240x240 px, Slice 40 of 155, Head
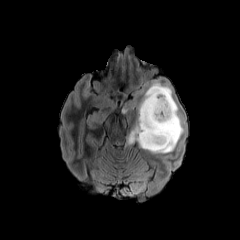
FLAIR MR.
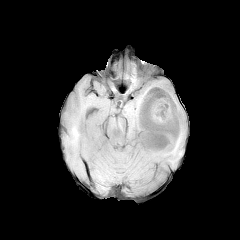
T1-weighted magnetic resonance.
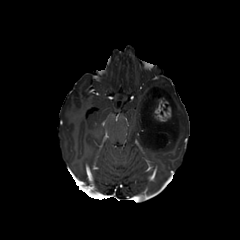
Post-contrast T1-weighted MR image of the same slice.
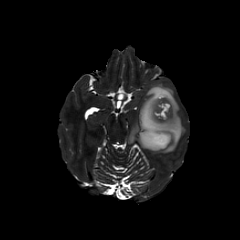
T2-weighted MRI.
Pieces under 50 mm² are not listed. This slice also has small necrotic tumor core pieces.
peritumoral edema: <box>128,84,184,153</box>
enhancing tumor: <box>149,97,172,123</box>